240x240 px; Brain
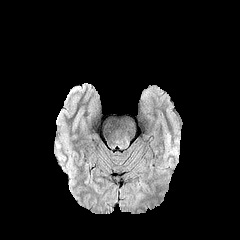
FLAIR magnetic resonance.
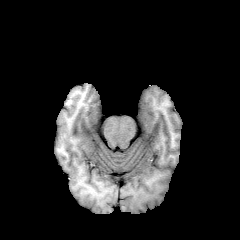
T1-weighted MR.
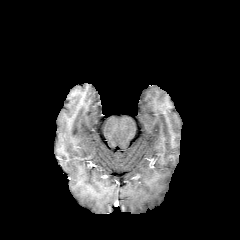
Post-contrast T1-weighted MR image.
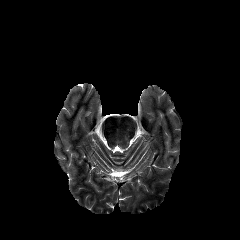
T2-weighted magnetic resonance of the same slice.
peritumoral edema — box=[118, 136, 128, 148]